Axial slice, Slice 135/155, Image width 240 mm, 1.00 mm slice spacing
FLAIR magnetic resonance.
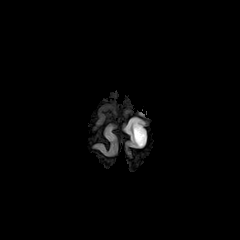
T1-weighted MR image.
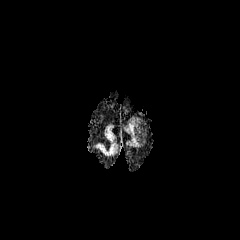
Post-contrast T1-weighted magnetic resonance.
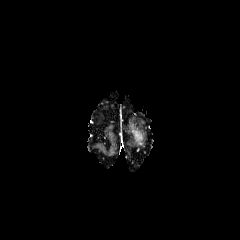
T2-weighted MR image.
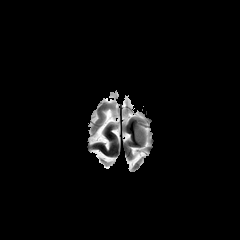
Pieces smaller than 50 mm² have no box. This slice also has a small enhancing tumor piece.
The peritumoral edema lies within bbox(128, 118, 146, 146).